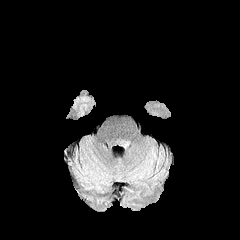
FLAIR magnetic resonance.
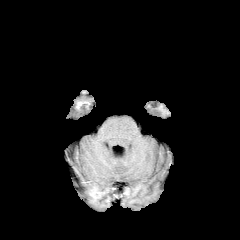
T1-weighted magnetic resonance.
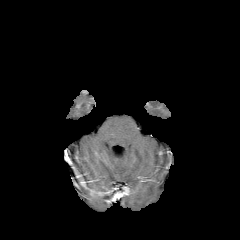
Same slice, post-contrast T1-weighted MR.
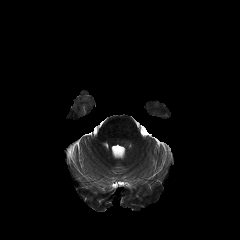
T2-weighted MR.
Image size 240x240. Axial slice.
peritumoral edema: <box>116,138,130,147</box>